FLAIR MR.
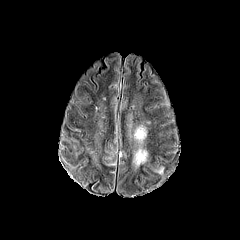
T1-weighted MR.
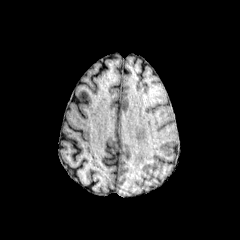
Post-contrast T1-weighted MRI.
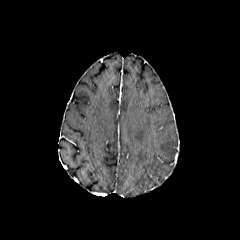
T2-weighted MR.
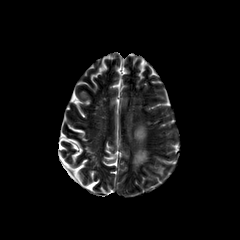
2 peritumoral edema regions appear at bbox=[135, 127, 145, 139]; bbox=[136, 151, 146, 163].